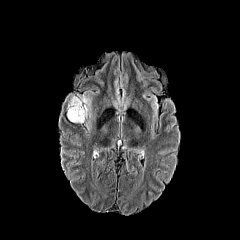
FLAIR MR.
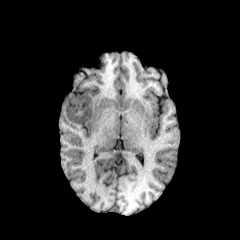
T1-weighted MRI.
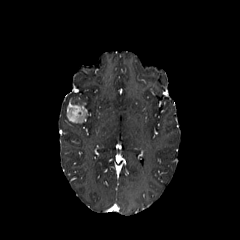
Post-contrast T1-weighted MR image.
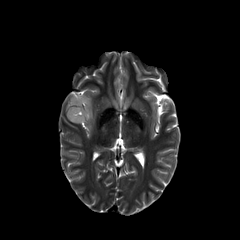
T2-weighted MR of the same slice.
Axial slice
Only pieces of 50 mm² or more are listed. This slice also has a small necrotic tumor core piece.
The enhancing tumor appears at rect(67, 102, 87, 123). The largest peritumoral edema region is bounded by rect(71, 96, 91, 109).